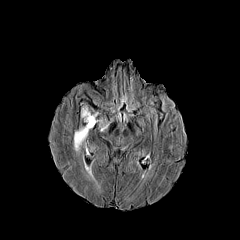
FLAIR MRI.
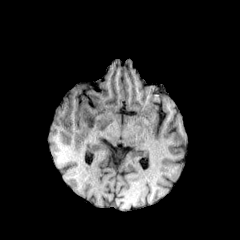
Same slice, T1-weighted MR image.
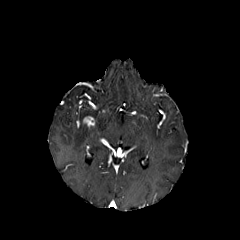
Post-contrast T1-weighted MR.
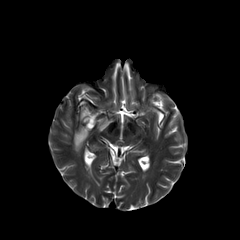
Same slice, T2-weighted MR image.
Head
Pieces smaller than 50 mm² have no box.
The 2 largest peritumoral edema regions appear at x1=74, y1=124, x2=89, y2=152; x1=81, y1=107, x2=97, y2=118. The enhancing tumor appears at x1=83, y1=116, x2=95, y2=128.